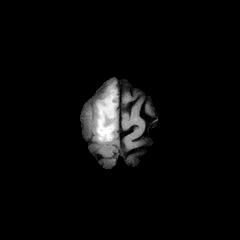
FLAIR MR image.
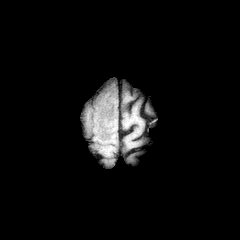
Same slice, T1-weighted MR.
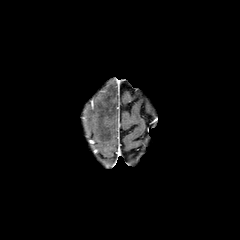
Post-contrast T1-weighted MRI.
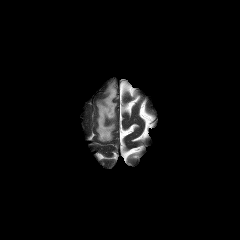
T2-weighted MRI.
Axial plane | Brain
Segmented structures:
- peritumoral edema: [96,86,116,141]